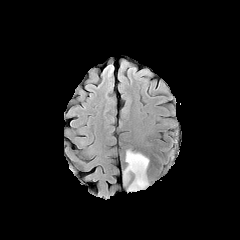
FLAIR MRI.
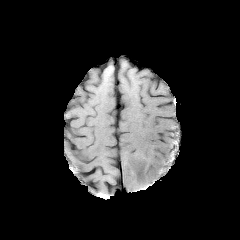
Same slice, T1-weighted MR.
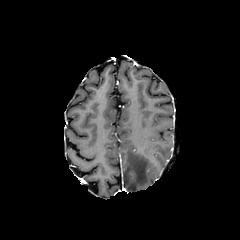
Same slice, post-contrast T1-weighted MRI.
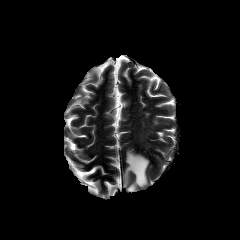
T2-weighted magnetic resonance.
240x240.
peritumoral_edema:
  - 123, 150, 148, 191